Image size 240x240, Axial plane, Slice 44 of 155
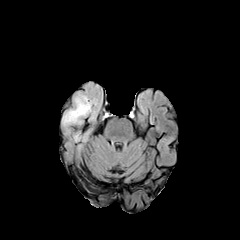
FLAIR MRI.
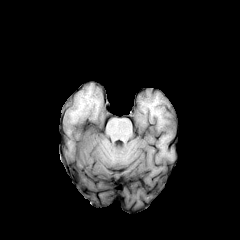
T1-weighted MR image of the same slice.
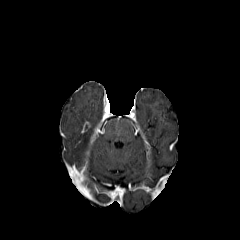
Same slice, post-contrast T1-weighted magnetic resonance.
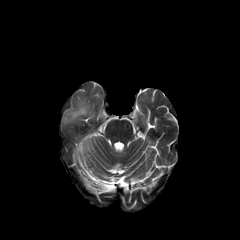
Same slice, T2-weighted MR.
peritumoral edema — x1=60 y1=82 x2=102 y2=153